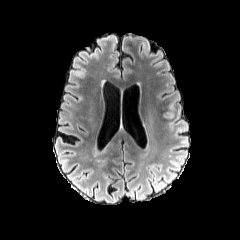
FLAIR MR image.
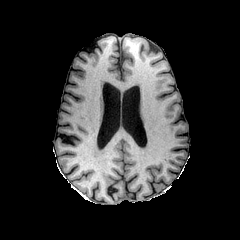
T1-weighted MR.
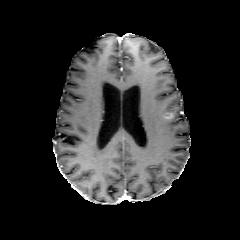
Post-contrast T1-weighted MR image.
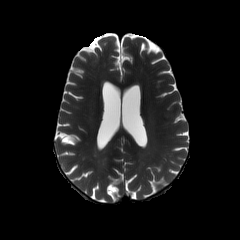
T2-weighted magnetic resonance.
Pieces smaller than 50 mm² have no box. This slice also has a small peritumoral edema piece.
enhancing_tumor:
  - <box>164,111,174,118</box>